FLAIR MR.
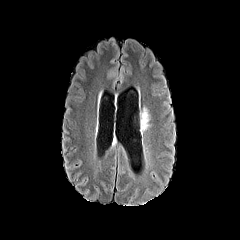
T1-weighted MR.
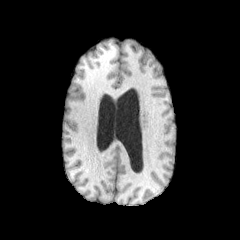
Post-contrast T1-weighted magnetic resonance.
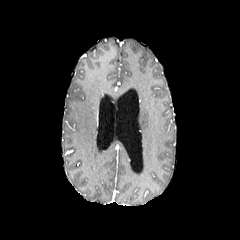
T2-weighted magnetic resonance.
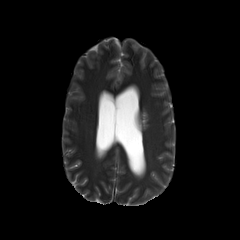
peritumoral_edema:
  - (140, 108, 149, 130)